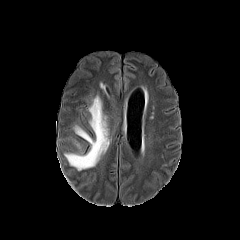
FLAIR magnetic resonance.
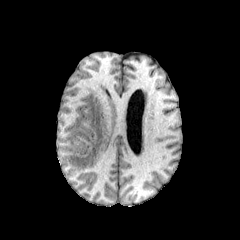
Same slice, T1-weighted MRI.
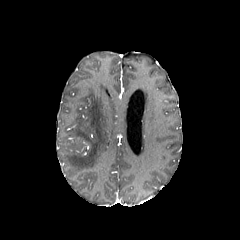
Post-contrast T1-weighted MRI.
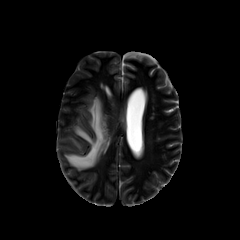
T2-weighted MR.
Head | 240x240
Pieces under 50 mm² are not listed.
<segmentation>
  <peritumoral_edema>64 94 109 170, 99 81 109 97</peritumoral_edema>
</segmentation>